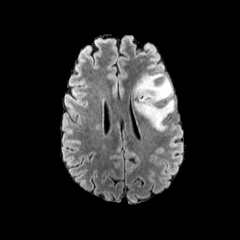
FLAIR MR.
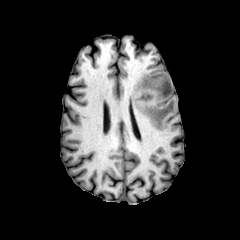
Same slice, T1-weighted MR.
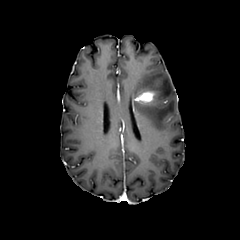
Post-contrast T1-weighted magnetic resonance.
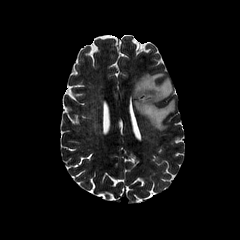
T2-weighted MR image.
Axial view, 240x240 px
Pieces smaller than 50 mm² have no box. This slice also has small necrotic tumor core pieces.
enhancing tumor: box=[135, 90, 155, 103]
peritumoral edema: box=[133, 73, 175, 130]